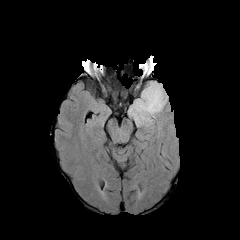
FLAIR MRI.
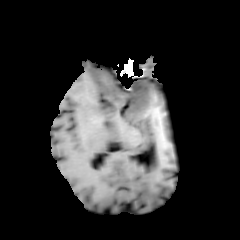
T1-weighted MRI.
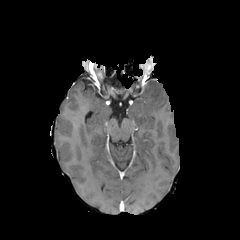
Post-contrast T1-weighted MR image.
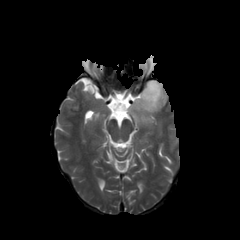
Same slice, T2-weighted MR image.
The peritumoral edema lies within [128, 81, 167, 126].